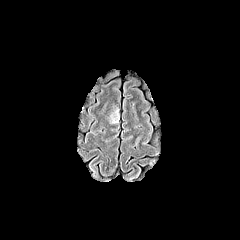
FLAIR MR image.
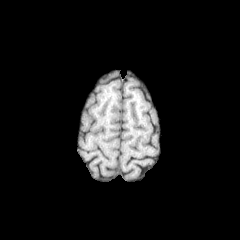
T1-weighted MRI of the same slice.
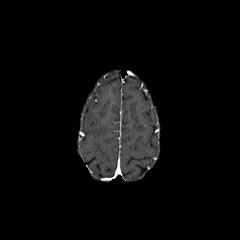
Post-contrast T1-weighted MR image of the same slice.
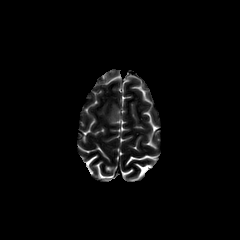
T2-weighted magnetic resonance.
Axial view. Brain.
peritumoral edema at [111, 109, 118, 123]